Image size 240x240, Brain, Slice index 98
FLAIR MRI.
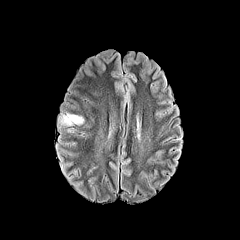
T1-weighted MR.
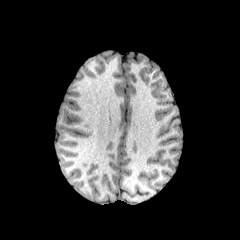
Post-contrast T1-weighted MR image.
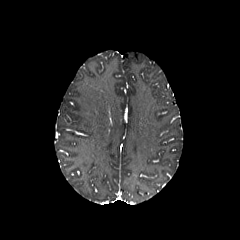
T2-weighted magnetic resonance.
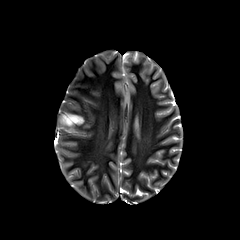
peritumoral edema = 61, 114, 83, 125